Head
FLAIR MRI.
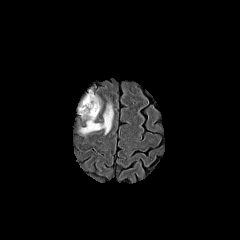
T1-weighted MR image.
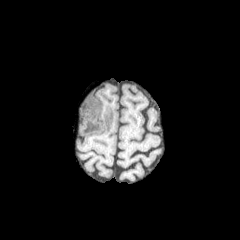
Post-contrast T1-weighted MR image.
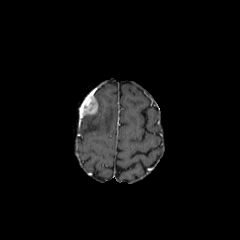
T2-weighted MR image.
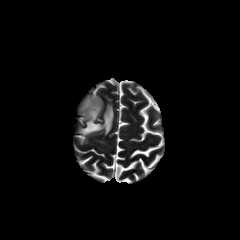
peritumoral edema: 80 95 113 135
enhancing tumor: 79 92 98 117